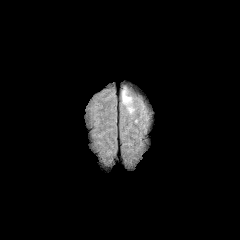
FLAIR MR image.
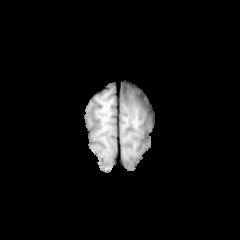
Same slice, T1-weighted MRI.
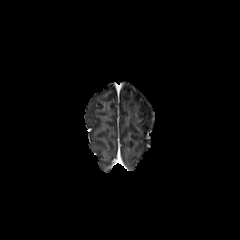
Post-contrast T1-weighted magnetic resonance.
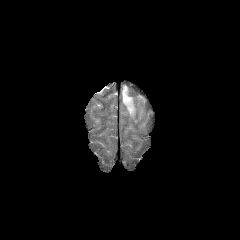
T2-weighted MRI.
Head
peritumoral edema — l=122, t=87, r=134, b=113